Image size 240x240. Slice 80/155.
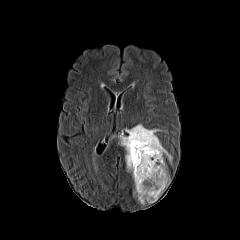
FLAIR magnetic resonance.
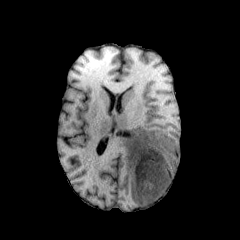
T1-weighted magnetic resonance of the same slice.
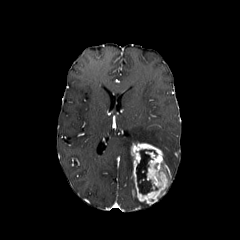
Post-contrast T1-weighted MR image.
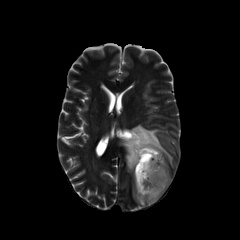
T2-weighted MR image.
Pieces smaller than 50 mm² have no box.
peritumoral edema — box=[121, 124, 172, 172]
necrotic tumor core — box=[136, 149, 157, 194]
enhancing tumor — box=[130, 142, 170, 204]